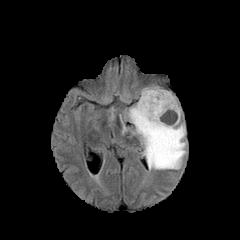
FLAIR MR image.
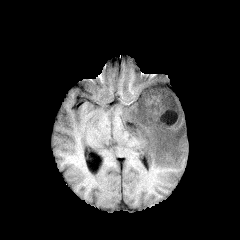
T1-weighted MR image of the same slice.
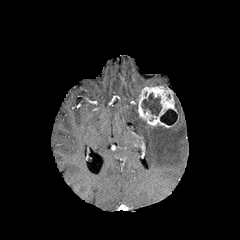
Same slice, post-contrast T1-weighted MR.
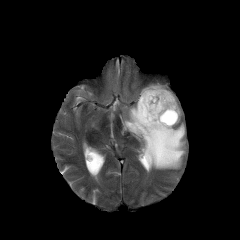
T2-weighted MR.
Head
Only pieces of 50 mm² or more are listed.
peritumoral edema: <bbox>125, 96, 186, 169</bbox> | enhancing tumor: <bbox>137, 86, 179, 127</bbox> | necrotic tumor core: <bbox>142, 93, 161, 115</bbox>, <bbox>160, 109, 177, 125</bbox>